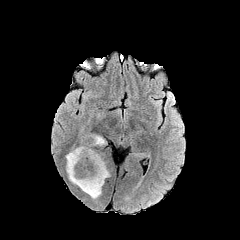
FLAIR MR image.
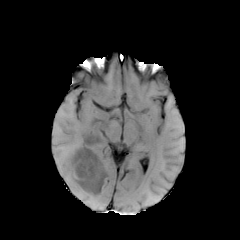
T1-weighted MR image.
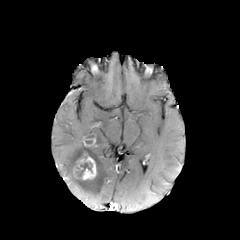
Post-contrast T1-weighted MR image of the same slice.
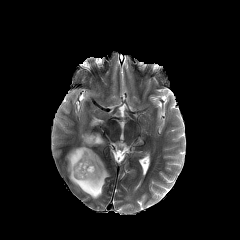
Same slice, T2-weighted MR.
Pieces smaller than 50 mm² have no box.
enhancing tumor: bounding box 74,151,96,179; 83,135,95,146
necrotic tumor core: bounding box 74,163,91,177
peritumoral edema: bounding box 93,134,106,146; 65,134,110,199